Axial view, Slice index 113, Head
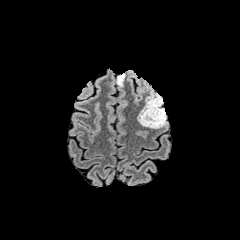
FLAIR MR.
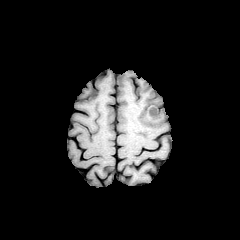
T1-weighted MR image of the same slice.
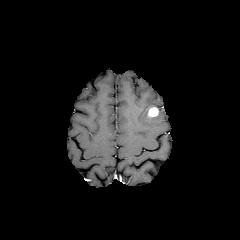
Same slice, post-contrast T1-weighted MR.
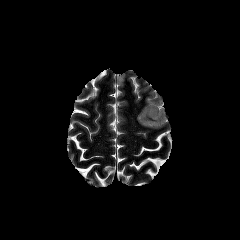
T2-weighted MR.
Findings:
- enhancing tumor: x1=148 y1=107 x2=158 y2=117
- peritumoral edema: x1=117 y1=73 x2=125 y2=86, x1=137 y1=90 x2=167 y2=128